FLAIR MR image.
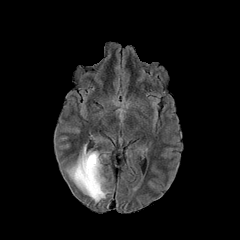
T1-weighted MR image.
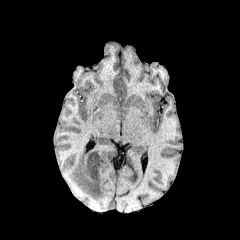
Post-contrast T1-weighted magnetic resonance.
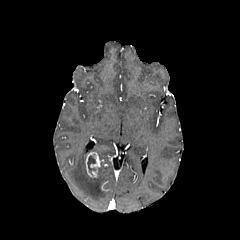
T2-weighted MRI.
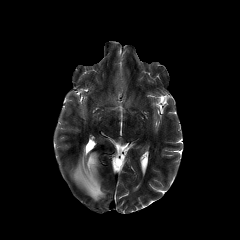
Axial plane
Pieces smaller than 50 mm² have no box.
enhancing tumor: 85, 152, 100, 178
necrotic tumor core: 87, 156, 95, 173
peritumoral edema: 67, 146, 107, 202